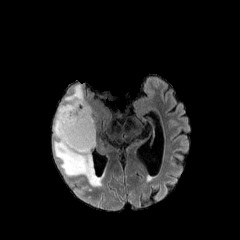
FLAIR MR image.
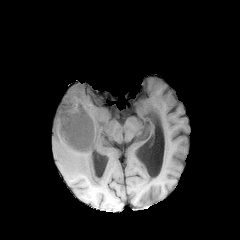
T1-weighted magnetic resonance.
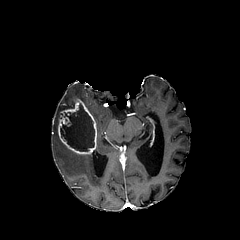
Same slice, post-contrast T1-weighted MR image.
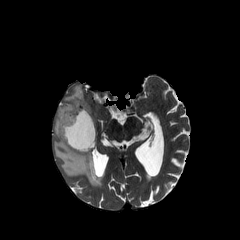
T2-weighted MR image.
Head.
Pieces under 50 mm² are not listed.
{"peritumoral_edema": ["(53,84,103,186)"], "necrotic_tumor_core": ["(60,103,94,151)"], "enhancing_tumor": ["(58,99,96,154)"]}